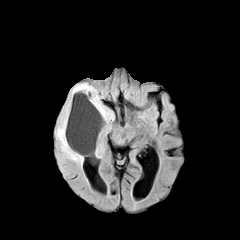
FLAIR MRI.
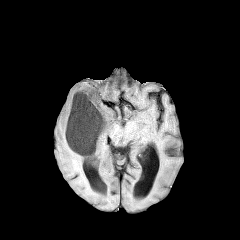
T1-weighted magnetic resonance of the same slice.
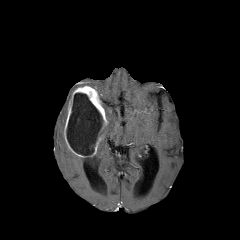
Post-contrast T1-weighted MR image.
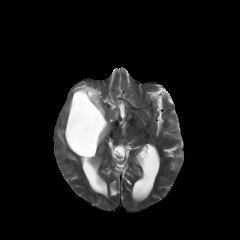
Same slice, T2-weighted magnetic resonance.
240x240 px.
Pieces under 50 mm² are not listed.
Annotated regions:
• necrotic tumor core: 66:93:102:155
• enhancing tumor: 64:85:108:157
• peritumoral edema: 102:104:114:137, 56:83:94:164, 95:139:103:156